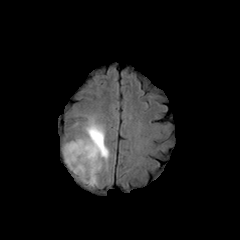
FLAIR MRI.
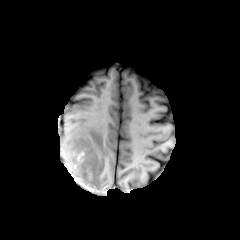
Same slice, T1-weighted MR.
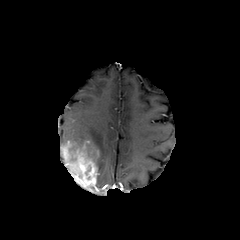
Post-contrast T1-weighted MR image.
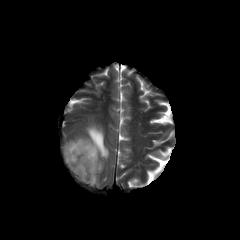
T2-weighted magnetic resonance.
Axial plane
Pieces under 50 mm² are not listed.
{
  "peritumoral_edema": [
    "left=71, top=120, right=109, bottom=173"
  ],
  "enhancing_tumor": [
    "left=61, top=140, right=99, bottom=187"
  ]
}